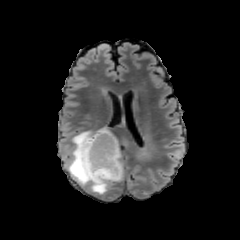
FLAIR magnetic resonance.
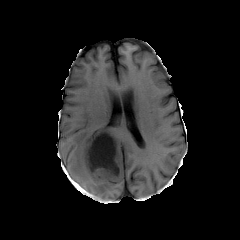
Same slice, T1-weighted magnetic resonance.
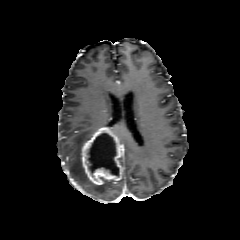
Post-contrast T1-weighted MR image of the same slice.
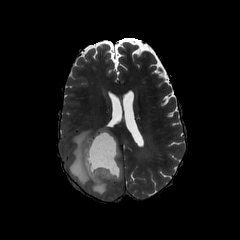
Same slice, T2-weighted magnetic resonance.
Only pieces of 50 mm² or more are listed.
peritumoral edema — box(68, 130, 113, 194)
necrotic tumor core — box(87, 133, 119, 176)
enhancing tumor — box(81, 126, 123, 185)